Head, 240x240 px
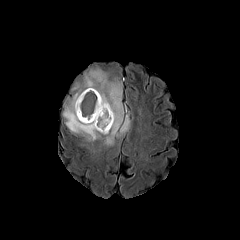
FLAIR magnetic resonance.
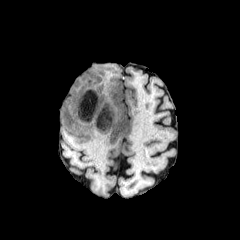
Same slice, T1-weighted MRI.
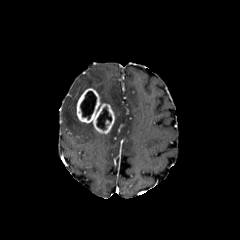
Post-contrast T1-weighted MR.
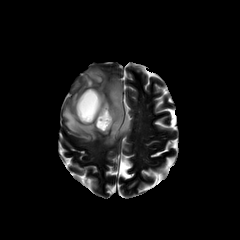
Same slice, T2-weighted MR image.
2 necrotic tumor core regions appear at rect(80, 91, 96, 119); rect(97, 107, 111, 129). The enhancing tumor is at rect(76, 88, 115, 133). The peritumoral edema appears at rect(63, 66, 130, 146).